FLAIR MRI.
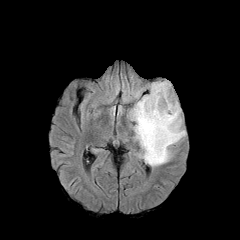
T1-weighted MR.
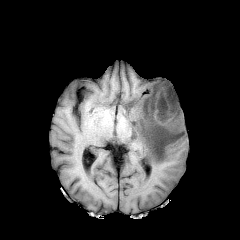
Post-contrast T1-weighted MRI.
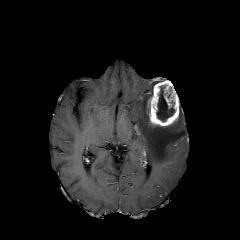
T2-weighted MR.
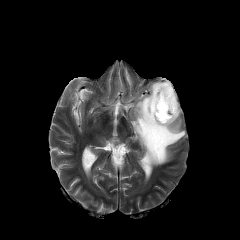
Head, Image size 240x240, Axial slice
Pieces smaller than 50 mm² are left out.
The enhancing tumor is located at bbox=[147, 79, 179, 126]. The largest peritumoral edema region lies within bbox=[129, 82, 185, 166]. The largest necrotic tumor core region is at bbox=[156, 86, 174, 121].